240x240 | Image width 240 mm | Slice index 56
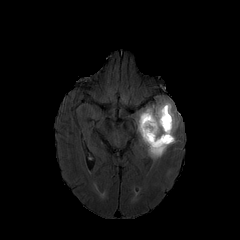
FLAIR MR image.
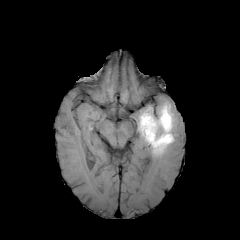
T1-weighted magnetic resonance.
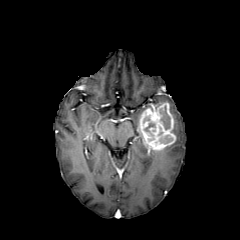
Post-contrast T1-weighted MR of the same slice.
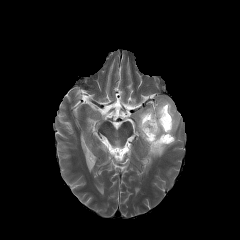
Same slice, T2-weighted MR image.
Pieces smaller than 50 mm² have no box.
enhancing tumor: 138, 102, 175, 150 | necrotic tumor core: 160, 135, 172, 143; 161, 106, 170, 129 | peritumoral edema: 146, 146, 169, 159; 153, 97, 180, 134; 135, 106, 151, 132